Axial plane | Head
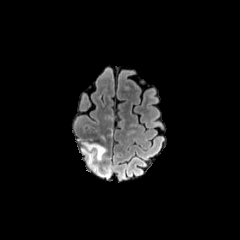
FLAIR magnetic resonance.
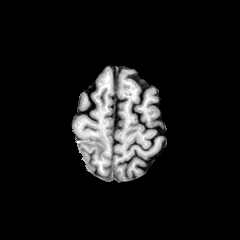
T1-weighted MR.
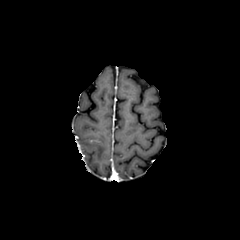
Post-contrast T1-weighted MR image.
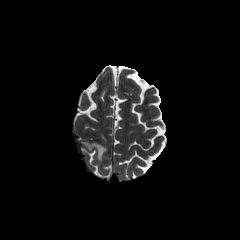
Same slice, T2-weighted MR.
{
  "peritumoral_edema": [
    "box(85, 143, 105, 160)"
  ]
}